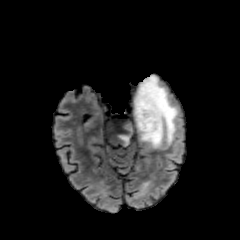
FLAIR MR.
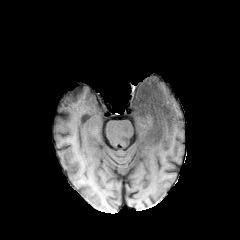
T1-weighted MRI.
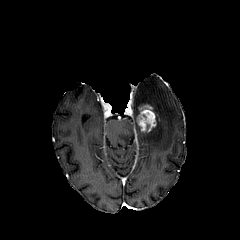
Post-contrast T1-weighted MR image of the same slice.
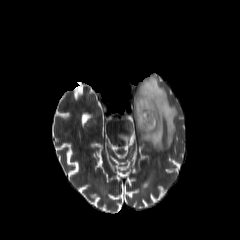
Same slice, T2-weighted MR image.
240x240
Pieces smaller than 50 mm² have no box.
Annotated regions:
- enhancing tumor: box=[137, 104, 159, 132]
- peritumoral edema: box=[117, 75, 178, 149]